FLAIR MR.
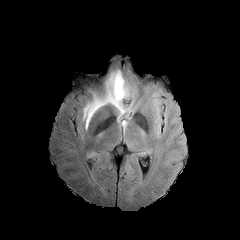
T1-weighted MRI.
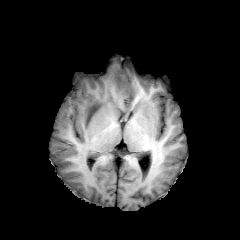
Post-contrast T1-weighted MRI.
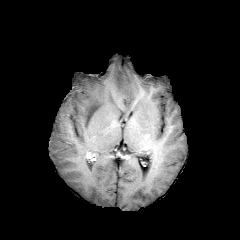
T2-weighted MR image.
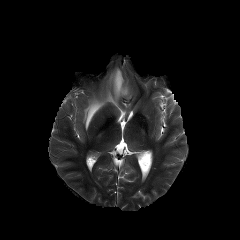
240x240. Brain.
The peritumoral edema appears at 83,69,129,129.